Image covers 240 mm x 240 mm.
FLAIR MR image.
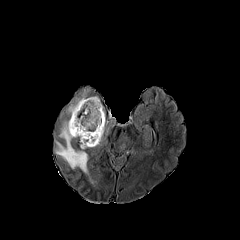
T1-weighted MRI.
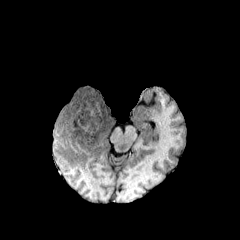
Post-contrast T1-weighted MR image.
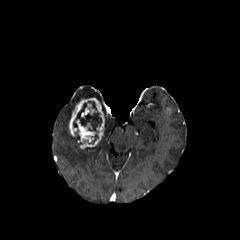
T2-weighted magnetic resonance.
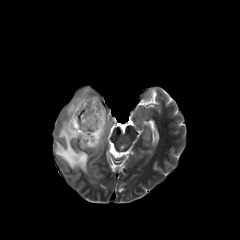
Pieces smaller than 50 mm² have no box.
peritumoral edema — <box>55,87,99,183</box>, <box>104,120,109,134</box>
necrotic tumor core — <box>73,103,101,131</box>
enhancing tumor — <box>68,97,105,148</box>